240x240 px, Head
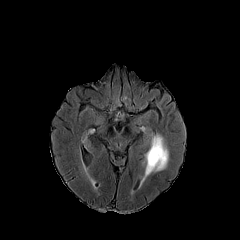
FLAIR MRI.
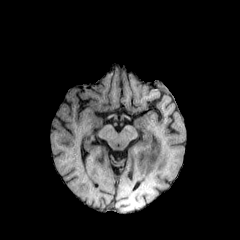
T1-weighted MRI.
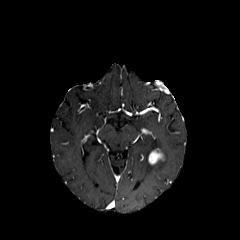
Post-contrast T1-weighted MR.
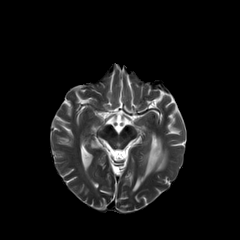
T2-weighted MRI.
<segmentation>
  <peritumoral_edema>[141, 134, 168, 181]</peritumoral_edema>
  <enhancing_tumor>[148, 148, 165, 165]</enhancing_tumor>
</segmentation>